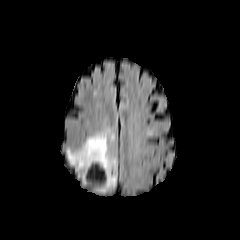
FLAIR magnetic resonance.
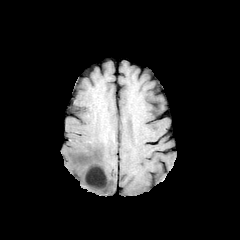
T1-weighted MRI.
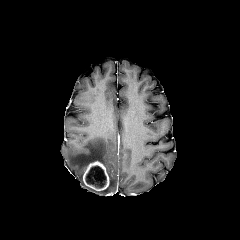
Post-contrast T1-weighted magnetic resonance.
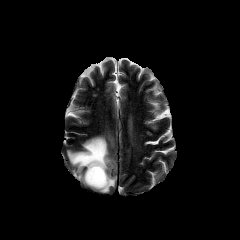
T2-weighted MR.
Head. 240x240 px.
The peritumoral edema is located at (x1=67, y1=132, x2=116, y2=192). The enhancing tumor is bounded by (x1=83, y1=161, x2=109, y2=190). The necrotic tumor core is located at (x1=85, y1=166, x2=106, y2=188).